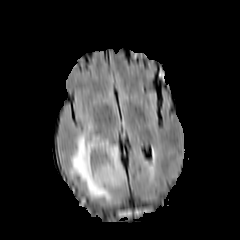
FLAIR magnetic resonance.
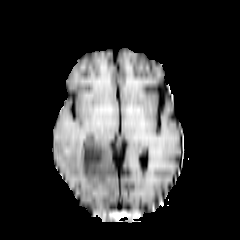
T1-weighted MR image of the same slice.
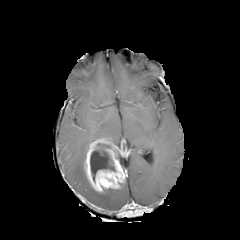
Post-contrast T1-weighted magnetic resonance.
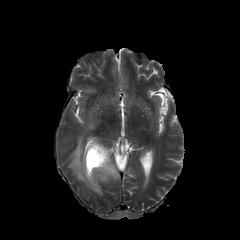
Same slice, T2-weighted MR image.
Brain.
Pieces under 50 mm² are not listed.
peritumoral edema: bbox(70, 133, 111, 201)
enhancing tumor: bbox(84, 138, 125, 192)
necrotic tumor core: bbox(90, 143, 113, 181)